Brain, Slice index 31
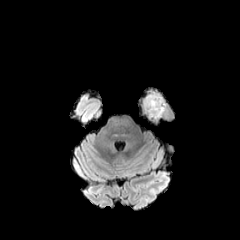
FLAIR MR.
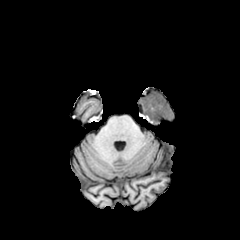
T1-weighted magnetic resonance.
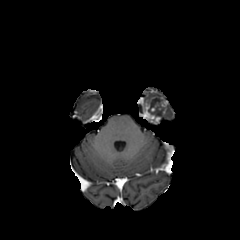
Post-contrast T1-weighted MRI.
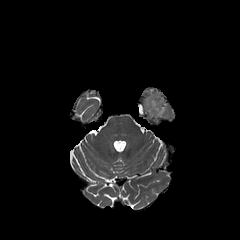
T2-weighted MR.
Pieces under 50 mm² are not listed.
The 2 largest peritumoral edema regions appear at (left=162, top=104, right=170, bottom=118), (left=141, top=91, right=160, bottom=112). The largest enhancing tumor region is at (left=144, top=96, right=167, bottom=122). The necrotic tumor core is bounded by (left=148, top=98, right=164, bottom=117).